FLAIR MR image.
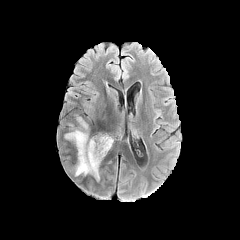
T1-weighted magnetic resonance.
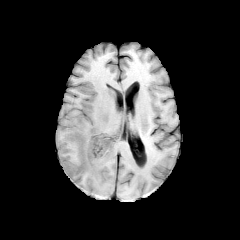
Post-contrast T1-weighted MR.
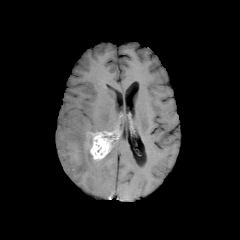
T2-weighted magnetic resonance.
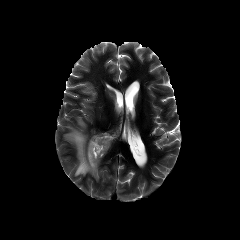
Axial slice | Image size 240x240 | Brain
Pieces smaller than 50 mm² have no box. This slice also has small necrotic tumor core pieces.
enhancing_tumor:
  - <bbox>84, 131, 114, 160</bbox>
peritumoral_edema:
  - <bbox>63, 114, 101, 180</bbox>